FLAIR MR image.
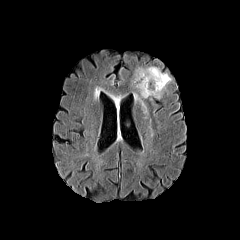
T1-weighted MR.
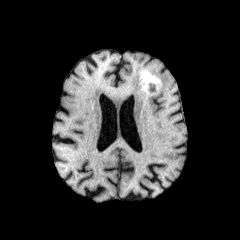
Post-contrast T1-weighted magnetic resonance.
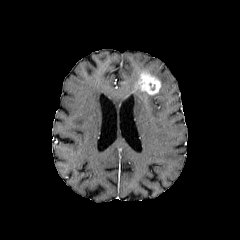
T2-weighted magnetic resonance.
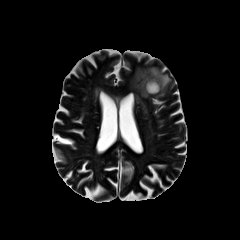
240x240 px.
peritumoral edema — <box>134,93,146,112</box>, <box>133,66,171,98</box>
enhancing tumor — <box>136,71,160,94</box>